Image covers 240 mm x 240 mm; Image size 240x240
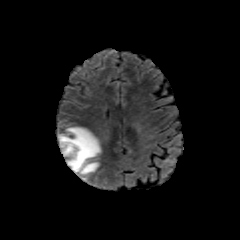
FLAIR magnetic resonance.
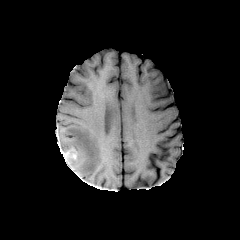
Same slice, T1-weighted magnetic resonance.
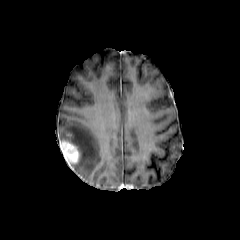
Same slice, post-contrast T1-weighted magnetic resonance.
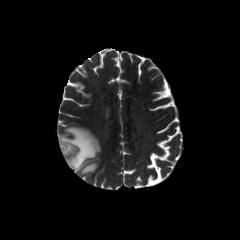
T2-weighted MR.
The peritumoral edema is at rect(59, 125, 101, 180). The enhancing tumor is at rect(60, 140, 80, 169).